FLAIR MRI.
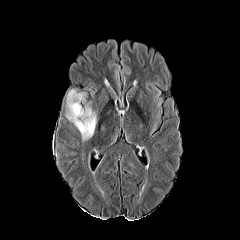
T1-weighted MR image.
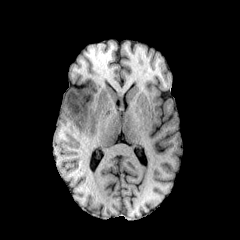
Post-contrast T1-weighted MRI.
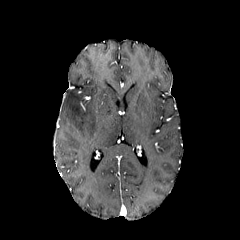
T2-weighted magnetic resonance.
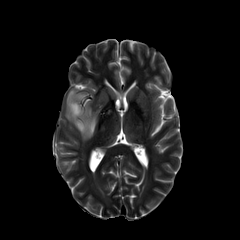
peritumoral edema: (65,88,97,140)